FLAIR magnetic resonance.
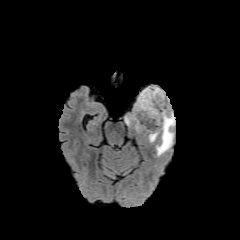
T1-weighted MRI.
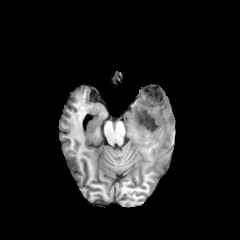
Post-contrast T1-weighted MR.
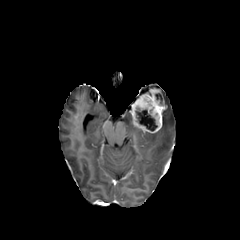
T2-weighted magnetic resonance.
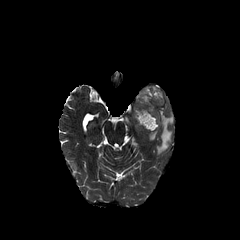
Axial view. Head.
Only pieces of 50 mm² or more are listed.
The largest necrotic tumor core region appears at (left=136, top=110, right=157, bottom=130). The 2 largest peritumoral edema regions are bounded by (left=125, top=115, right=132, bottom=126), (left=149, top=106, right=174, bottom=155). The enhancing tumor appears at (left=131, top=88, right=166, bottom=133).